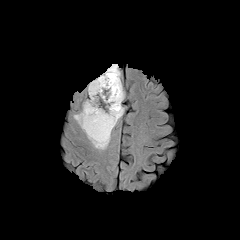
FLAIR magnetic resonance.
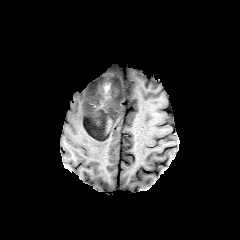
T1-weighted MR.
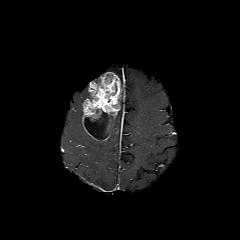
Post-contrast T1-weighted MR image.
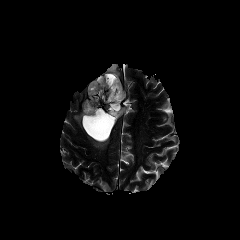
T2-weighted MR image.
Brain
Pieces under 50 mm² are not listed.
The largest necrotic tumor core region lies within [84, 111, 113, 139]. The 4 largest peritumoral edema regions appear at [106, 64, 120, 77], [86, 133, 110, 149], [74, 106, 82, 128], [112, 105, 123, 130]. The enhancing tumor is at [82, 72, 125, 141].